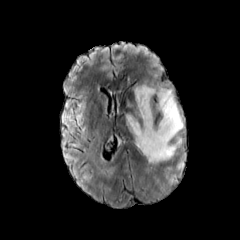
FLAIR MRI.
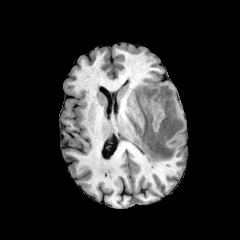
T1-weighted magnetic resonance.
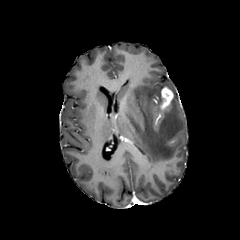
Post-contrast T1-weighted MR image of the same slice.
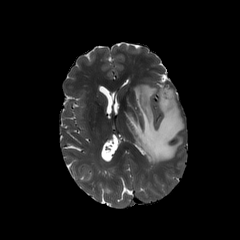
T2-weighted MR.
Axial view
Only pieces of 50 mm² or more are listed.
The enhancing tumor is located at x1=160 y1=87 x2=173 y2=110. The largest peritumoral edema region is bounded by x1=126 y1=85 x2=184 y2=163.